Image size 240x240.
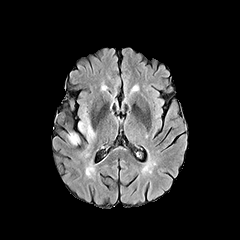
FLAIR magnetic resonance.
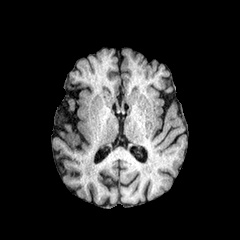
T1-weighted magnetic resonance.
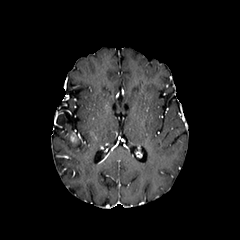
Post-contrast T1-weighted magnetic resonance of the same slice.
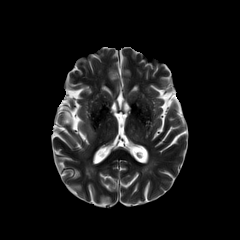
T2-weighted magnetic resonance.
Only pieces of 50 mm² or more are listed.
Annotated regions:
* peritumoral edema: 79:113:95:140
* enhancing tumor: 70:133:77:142